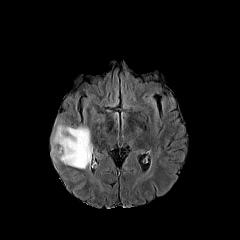
FLAIR magnetic resonance.
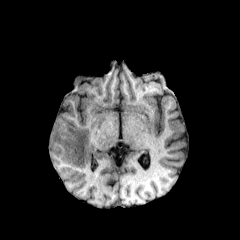
T1-weighted MR image.
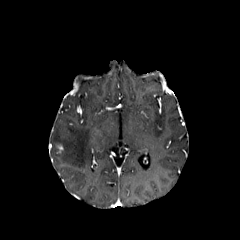
Post-contrast T1-weighted magnetic resonance.
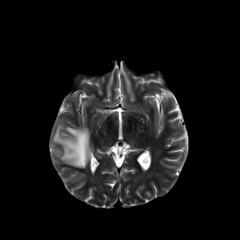
T2-weighted MR of the same slice.
Image size 240x240
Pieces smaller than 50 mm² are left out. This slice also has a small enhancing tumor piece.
<segmentation>
  <peritumoral_edema>x1=51, y1=120, x2=92, y2=168</peritumoral_edema>
</segmentation>